Image covers 240 mm x 240 mm | Brain | Axial plane
FLAIR MR image.
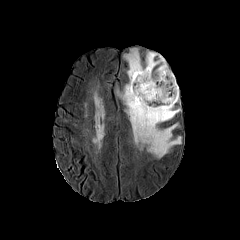
T1-weighted MR.
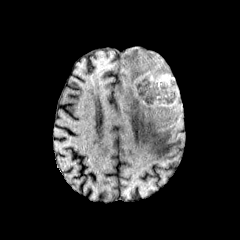
Post-contrast T1-weighted MRI.
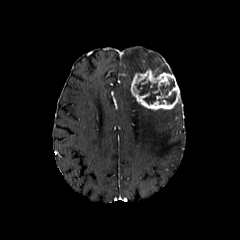
T2-weighted MRI.
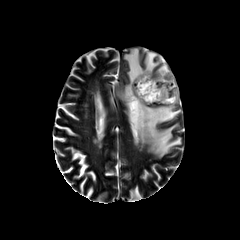
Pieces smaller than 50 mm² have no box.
The largest enhancing tumor region is bounded by 130, 69, 179, 110. The 3 largest necrotic tumor core regions appear at 136, 82, 160, 103; 164, 92, 176, 103; 160, 79, 174, 94. The peritumoral edema lies within 117, 48, 181, 158.